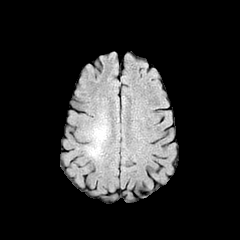
FLAIR magnetic resonance.
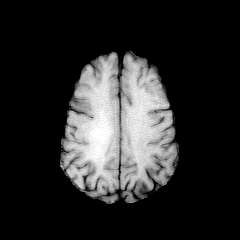
T1-weighted MR image.
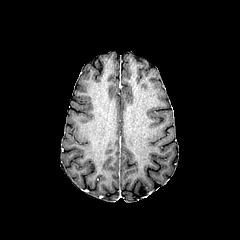
Post-contrast T1-weighted MRI.
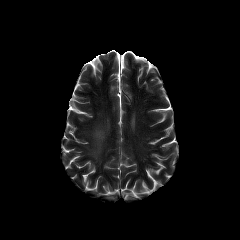
T2-weighted MRI.
Head, 240x240, Axial slice
The peritumoral edema lies within box(75, 97, 112, 164).